240x240 px. Image width 240 mm, 1.00 mm slice spacing.
FLAIR MR image.
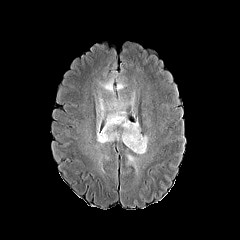
T1-weighted MR image.
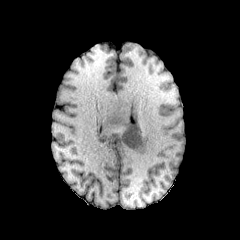
Post-contrast T1-weighted MR.
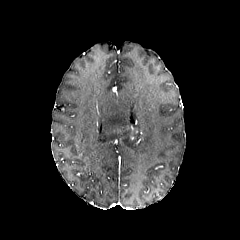
T2-weighted MR image.
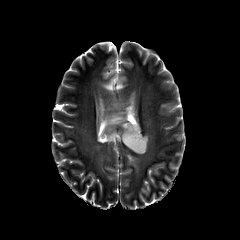
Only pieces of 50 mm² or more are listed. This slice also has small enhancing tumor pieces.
peritumoral_edema:
  - bbox=[97, 94, 148, 154]
  - bbox=[100, 78, 114, 94]
  - bbox=[127, 154, 136, 166]